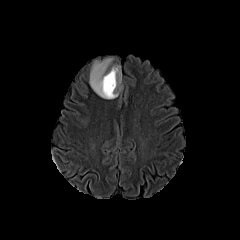
FLAIR magnetic resonance.
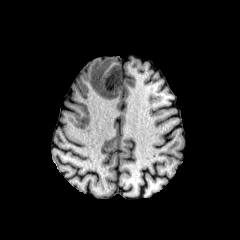
T1-weighted MR image.
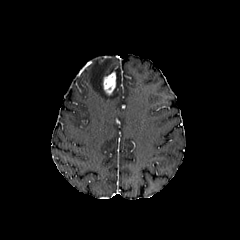
Same slice, post-contrast T1-weighted magnetic resonance.
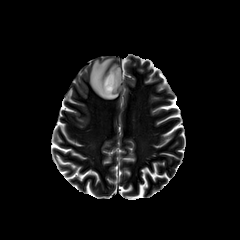
Same slice, T2-weighted MRI.
Head
The enhancing tumor is located at {"x1": 103, "y1": 71, "x2": 116, "y2": 95}. The peritumoral edema lies within {"x1": 89, "y1": 58, "x2": 121, "y2": 99}.